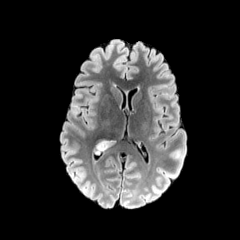
FLAIR MRI.
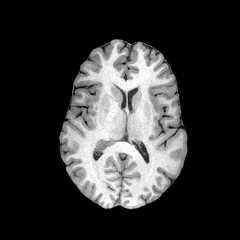
T1-weighted magnetic resonance.
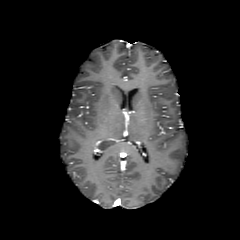
Same slice, post-contrast T1-weighted MR.
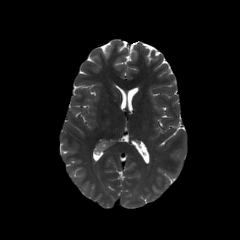
Same slice, T2-weighted MR.
Image size 240x240 | Head
peritumoral_edema:
  - box=[93, 136, 116, 150]